Image size 240x240
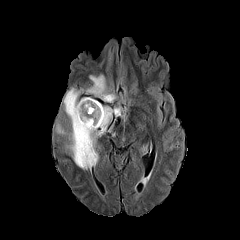
FLAIR MR.
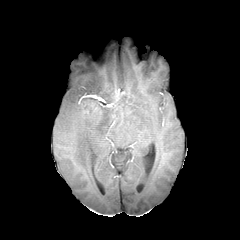
T1-weighted magnetic resonance.
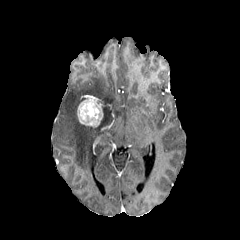
Post-contrast T1-weighted MRI of the same slice.
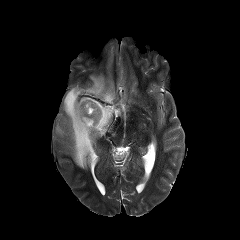
T2-weighted MR of the same slice.
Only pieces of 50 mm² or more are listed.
Findings:
• peritumoral edema: 56,74,122,169
• enhancing tumor: 77,96,103,127